FLAIR MRI.
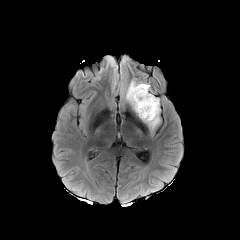
T1-weighted MR.
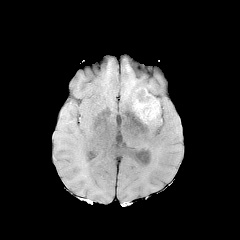
Post-contrast T1-weighted MR image.
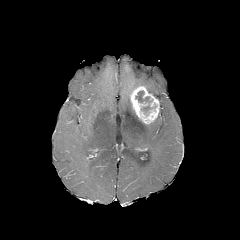
T2-weighted MRI.
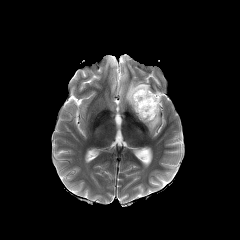
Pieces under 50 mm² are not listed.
necrotic tumor core: 135, 90, 156, 115 | enhancing tumor: 130, 86, 159, 123 | peritumoral edema: 147, 109, 160, 131; 125, 80, 150, 105